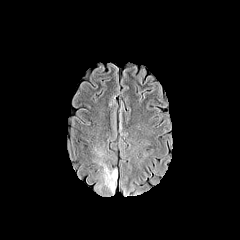
FLAIR MR.
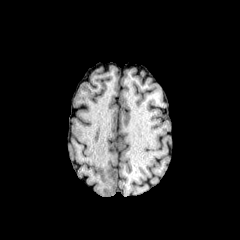
T1-weighted MR of the same slice.
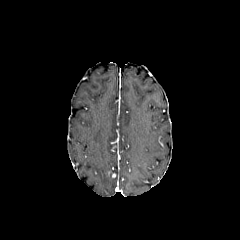
Post-contrast T1-weighted MR image.
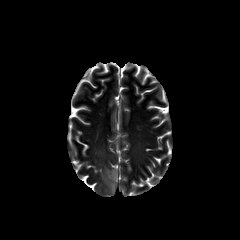
T2-weighted MR of the same slice.
Image size 240x240
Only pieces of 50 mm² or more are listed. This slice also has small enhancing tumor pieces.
peritumoral edema — bbox=[92, 141, 117, 194]